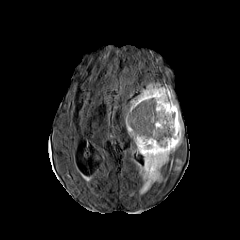
FLAIR magnetic resonance.
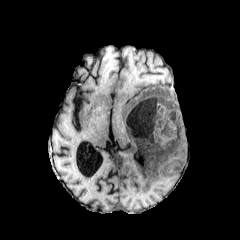
T1-weighted MR image of the same slice.
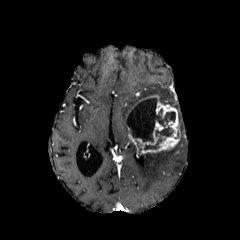
Post-contrast T1-weighted magnetic resonance.
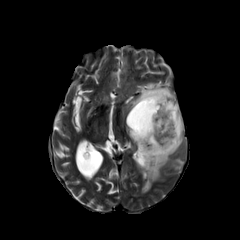
T2-weighted MR.
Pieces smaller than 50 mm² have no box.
<segmentation>
  <peritumoral_edema>box=[127, 83, 178, 113]; box=[136, 113, 183, 193]</peritumoral_edema>
  <enhancing_tumor>box=[127, 95, 180, 153]</enhancing_tumor>
  <necrotic_tumor_core>box=[126, 97, 175, 149]</necrotic_tumor_core>
</segmentation>